Image width 240 mm, 1.00 mm slice spacing, Head, Image size 240x240
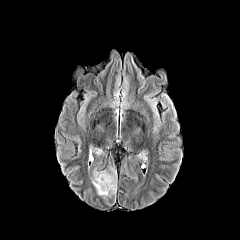
FLAIR magnetic resonance.
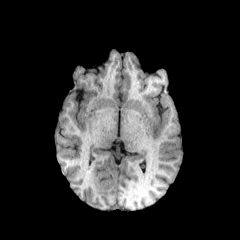
T1-weighted magnetic resonance.
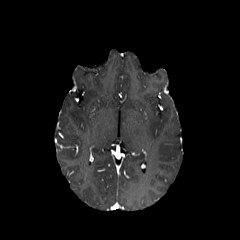
Same slice, post-contrast T1-weighted MR.
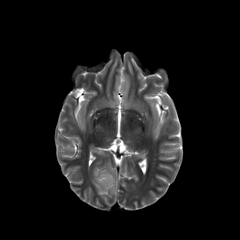
Same slice, T2-weighted magnetic resonance.
peritumoral edema = rect(91, 169, 116, 196)